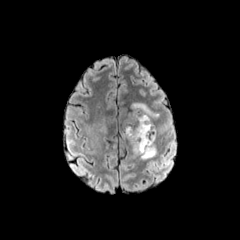
FLAIR MR image.
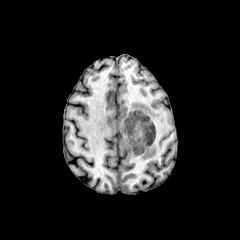
T1-weighted MRI.
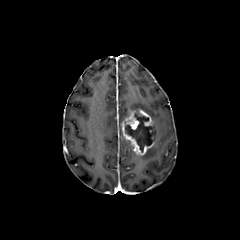
Post-contrast T1-weighted MRI.
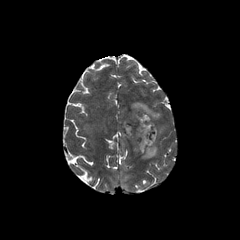
T2-weighted MRI.
Brain. Axial plane.
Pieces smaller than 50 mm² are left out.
peritumoral edema: x1=139, y1=144, x2=156, y2=159; x1=130, y1=102, x2=158, y2=120; x1=157, y1=124, x2=167, y2=131 | necrotic tumor core: x1=125, y1=112, x2=153, y2=151 | enhancing tumor: x1=121, y1=109, x2=155, y2=155